Slice 67/155. Head.
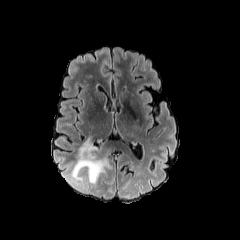
FLAIR magnetic resonance.
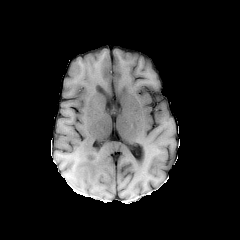
T1-weighted MRI.
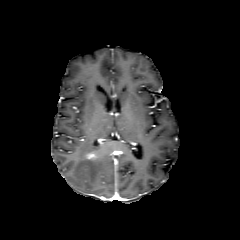
Post-contrast T1-weighted MRI.
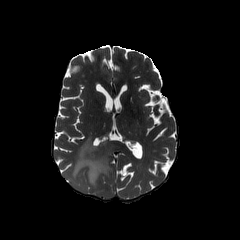
T2-weighted MR.
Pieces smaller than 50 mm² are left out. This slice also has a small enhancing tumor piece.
peritumoral_edema:
  - rect(72, 137, 109, 184)